FLAIR MR image.
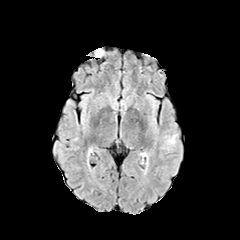
T1-weighted MR.
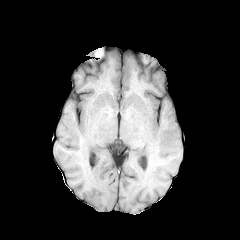
Post-contrast T1-weighted magnetic resonance.
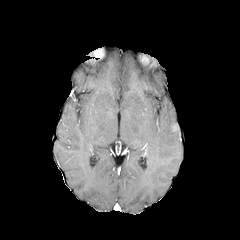
T2-weighted magnetic resonance.
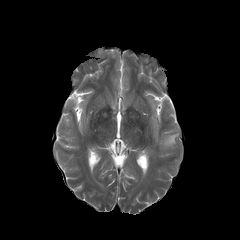
Head | Axial view
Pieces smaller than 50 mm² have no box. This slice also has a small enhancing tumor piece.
{"peritumoral_edema": ["(left=163, top=130, right=178, bottom=148)"]}